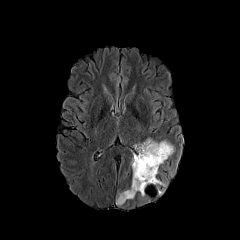
FLAIR magnetic resonance.
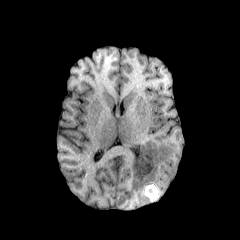
T1-weighted MRI.
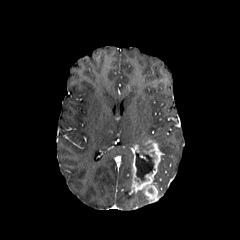
Post-contrast T1-weighted MRI of the same slice.
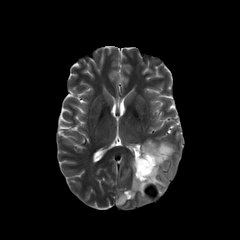
T2-weighted MR image.
Brain
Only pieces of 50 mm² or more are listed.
Annotated regions:
* necrotic tumor core: l=135, t=149, r=154, b=181
* enhancing tumor: l=130, t=140, r=164, b=193
* peritumoral edema: l=116, t=189, r=135, b=205; l=158, t=141, r=173, b=164; l=154, t=171, r=165, b=188